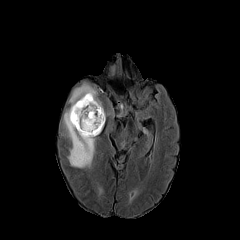
FLAIR magnetic resonance.
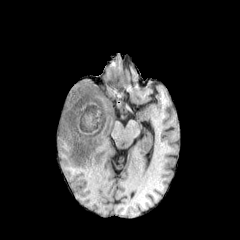
T1-weighted MRI of the same slice.
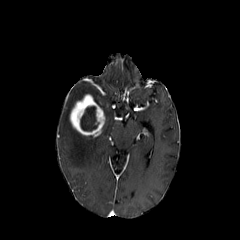
Post-contrast T1-weighted MRI.
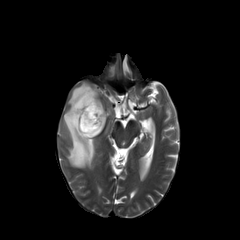
T2-weighted MR image.
Axial slice; 240x240 px; Brain
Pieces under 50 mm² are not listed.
{"necrotic_tumor_core": ["box=[80, 105, 99, 131]"], "peritumoral_edema": ["box=[63, 82, 103, 168]"], "enhancing_tumor": ["box=[69, 94, 105, 137]"]}